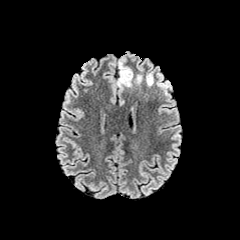
FLAIR MR.
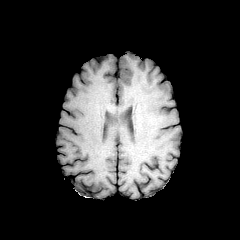
Same slice, T1-weighted magnetic resonance.
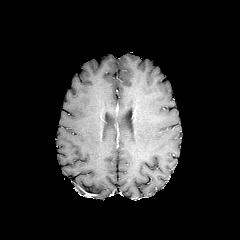
Post-contrast T1-weighted magnetic resonance.
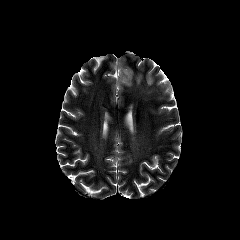
T2-weighted MR image.
Head | Axial slice
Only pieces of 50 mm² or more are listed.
{"peritumoral_edema": ["bbox=[146, 75, 153, 85]", "bbox=[117, 61, 133, 88]", "bbox=[136, 74, 142, 83]"]}